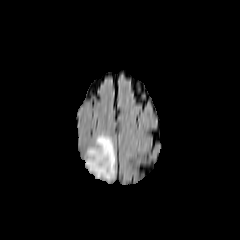
FLAIR MRI.
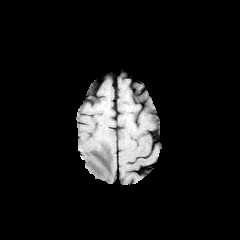
T1-weighted magnetic resonance of the same slice.
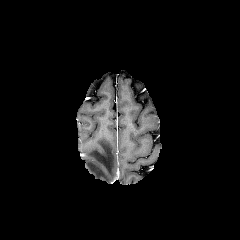
Post-contrast T1-weighted MR image.
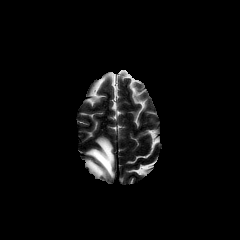
T2-weighted MRI.
Brain.
{
  "peritumoral_edema": [
    "left=85, top=135, right=115, bottom=180"
  ]
}